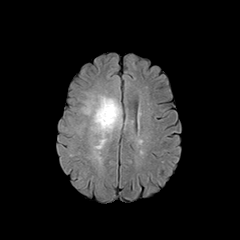
FLAIR magnetic resonance.
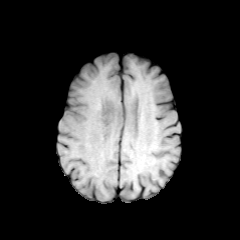
T1-weighted MRI.
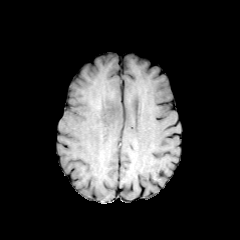
Same slice, post-contrast T1-weighted magnetic resonance.
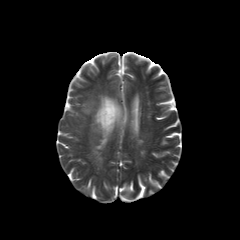
T2-weighted MR.
240x240, Head
peritumoral edema — box(81, 95, 122, 149)